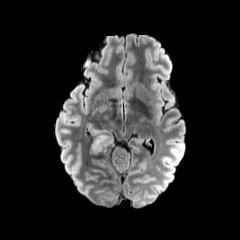
FLAIR MRI.
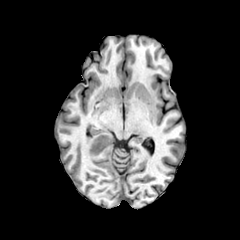
T1-weighted magnetic resonance of the same slice.
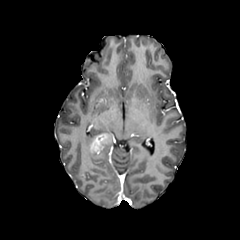
Post-contrast T1-weighted magnetic resonance.
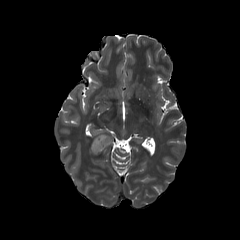
T2-weighted MR image.
Head. 240x240 px.
peritumoral edema at left=89, top=130, right=114, bottom=155
enhancing tumor at left=89, top=133, right=112, bottom=153